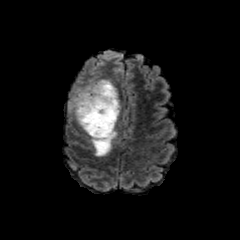
FLAIR magnetic resonance.
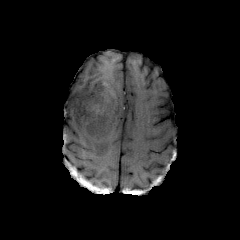
T1-weighted magnetic resonance of the same slice.
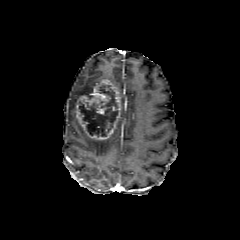
Same slice, post-contrast T1-weighted magnetic resonance.
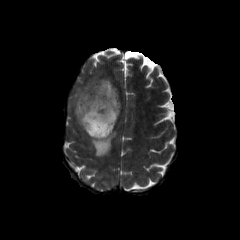
T2-weighted MRI of the same slice.
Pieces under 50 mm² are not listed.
Annotated regions:
* enhancing tumor: (left=75, top=79, right=121, bottom=140)
* peritumoral edema: (left=68, top=78, right=103, bottom=125), (left=89, top=129, right=117, bottom=156)
* necrotic tumor core: (left=79, top=84, right=117, bottom=136)